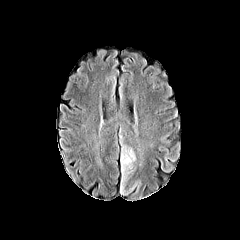
FLAIR MRI.
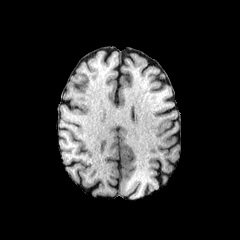
T1-weighted MRI of the same slice.
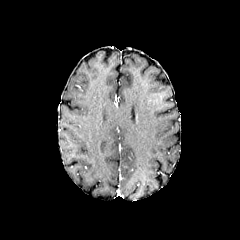
Post-contrast T1-weighted MRI.
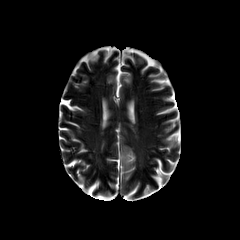
T2-weighted MRI.
Brain | Axial view
peritumoral_edema:
  - bbox=[132, 179, 140, 191]
  - bbox=[119, 141, 135, 172]